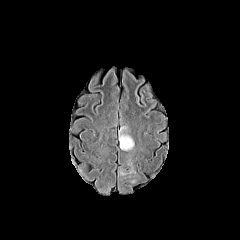
FLAIR magnetic resonance.
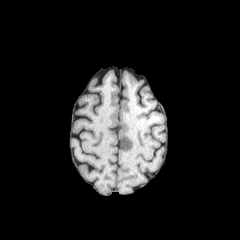
Same slice, T1-weighted magnetic resonance.
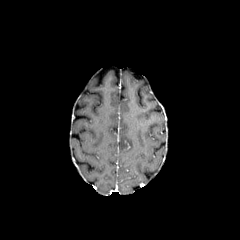
Post-contrast T1-weighted MR image.
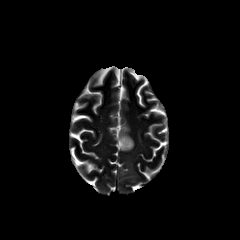
Same slice, T2-weighted MR.
Brain. 240x240 px.
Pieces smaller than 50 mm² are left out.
{
  "peritumoral_edema": [
    "box=[119, 168, 135, 175]",
    "box=[119, 126, 134, 150]"
  ]
}